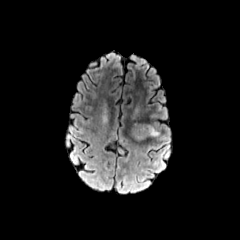
FLAIR magnetic resonance.
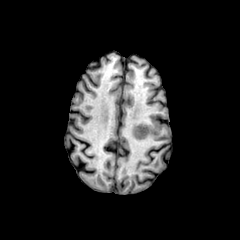
T1-weighted MR.
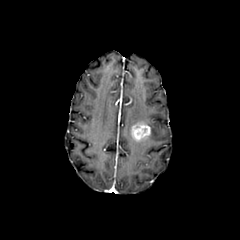
Post-contrast T1-weighted MR of the same slice.
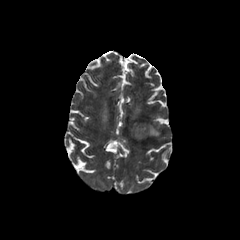
T2-weighted MR of the same slice.
Axial view. Head. Image size 240x240.
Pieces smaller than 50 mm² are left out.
enhancing tumor: bounding box <bbox>130, 121, 151, 141</bbox>
peritumoral edema: bounding box <bbox>148, 125, 159, 136</bbox>